FLAIR MRI.
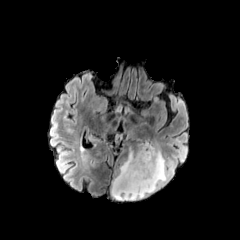
T1-weighted MR.
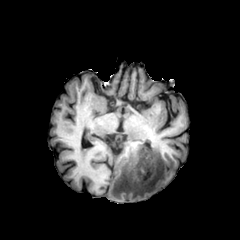
Post-contrast T1-weighted MRI.
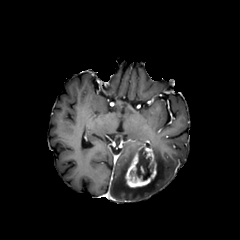
T2-weighted MRI.
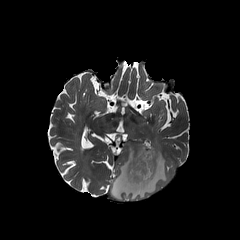
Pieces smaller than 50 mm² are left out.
peritumoral edema at x1=111 y1=142 x2=169 y2=200
necrotic tumor core at x1=130 y1=148 x2=153 y2=183
enhancing tumor at x1=125 y1=144 x2=156 y2=187